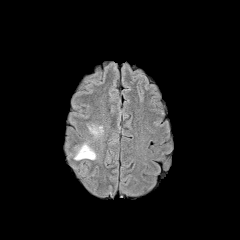
FLAIR magnetic resonance.
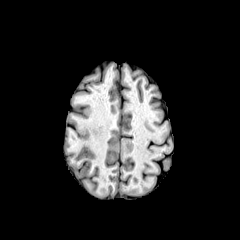
Same slice, T1-weighted MR image.
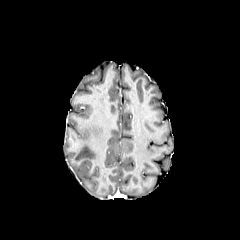
Post-contrast T1-weighted MRI of the same slice.
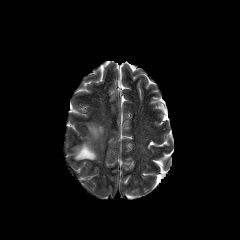
Same slice, T2-weighted magnetic resonance.
Head
peritumoral_edema:
  - l=89, t=125, r=102, b=137
  - l=75, t=143, r=96, b=159